Axial view | Slice 85 of 155 | Image size 240x240
FLAIR MRI.
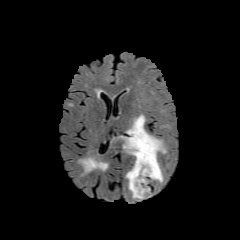
T1-weighted MRI.
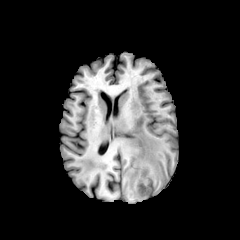
Post-contrast T1-weighted MR.
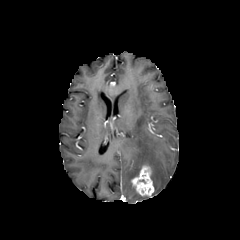
T2-weighted magnetic resonance.
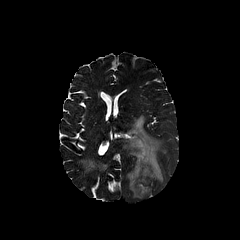
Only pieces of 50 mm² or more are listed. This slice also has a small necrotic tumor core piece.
Findings:
* enhancing tumor: {"x1": 131, "y1": 165, "x2": 153, "y2": 196}
* peritumoral edema: {"x1": 123, "y1": 115, "x2": 165, "y2": 199}